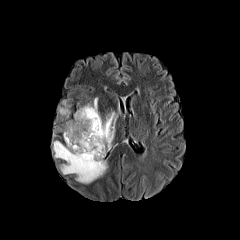
FLAIR MRI.
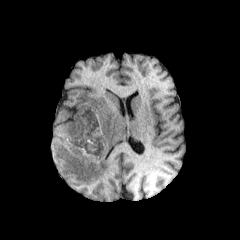
T1-weighted MR image of the same slice.
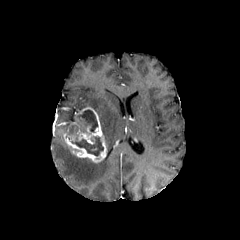
Post-contrast T1-weighted magnetic resonance.
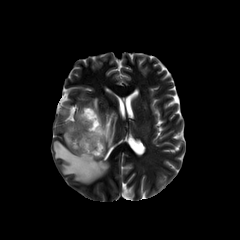
Same slice, T2-weighted magnetic resonance.
Axial view. Head.
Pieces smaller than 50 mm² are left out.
The 3 largest necrotic tumor core regions are located at {"x1": 77, "y1": 109, "x2": 97, "y2": 132}, {"x1": 68, "y1": 125, "x2": 77, "y2": 134}, {"x1": 71, "y1": 137, "x2": 103, "y2": 155}. The largest enhancing tumor region is located at {"x1": 63, "y1": 106, "x2": 106, "y2": 162}. 3 peritumoral edema regions are bounded by {"x1": 58, "y1": 106, "x2": 70, "y2": 116}, {"x1": 53, "y1": 140, "x2": 108, "y2": 183}, {"x1": 80, "y1": 97, "x2": 117, "y2": 150}.